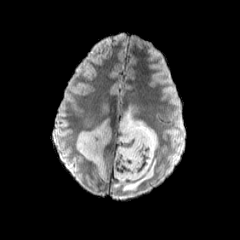
FLAIR MR image.
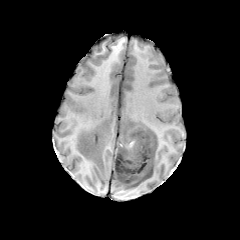
Same slice, T1-weighted MR image.
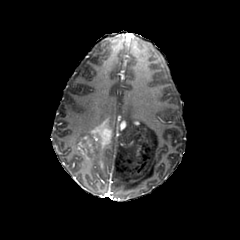
Post-contrast T1-weighted magnetic resonance.
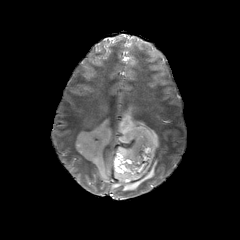
T2-weighted MR.
Brain
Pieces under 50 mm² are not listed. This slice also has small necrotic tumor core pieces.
{"enhancing_tumor": ["x1=115 y1=114 x2=126 y2=143", "x1=76 y1=120 x2=113 y2=160"], "peritumoral_edema": ["x1=76 y1=130 x2=89 y2=143", "x1=113 y1=100 x2=158 y2=191", "x1=103 y1=106 x2=109 y2=119", "x1=92 y1=151 x2=106 y2=181"]}